240x240
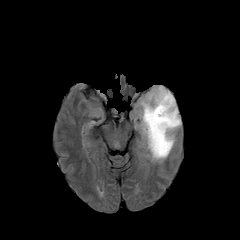
FLAIR magnetic resonance.
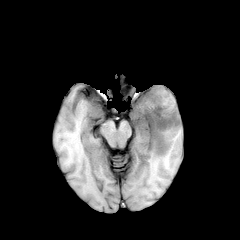
T1-weighted MRI.
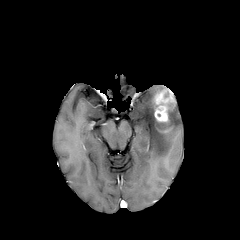
Post-contrast T1-weighted magnetic resonance of the same slice.
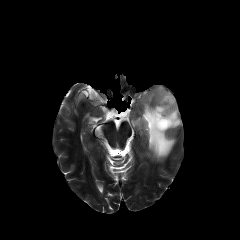
T2-weighted MR.
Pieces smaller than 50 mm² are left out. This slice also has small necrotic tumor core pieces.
enhancing_tumor:
  - region(153, 89, 175, 132)
peritumoral_edema:
  - region(139, 85, 181, 161)